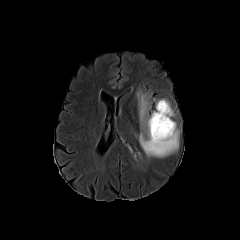
FLAIR MR.
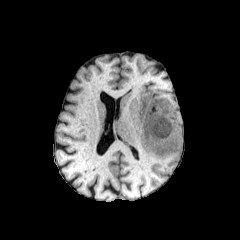
T1-weighted magnetic resonance of the same slice.
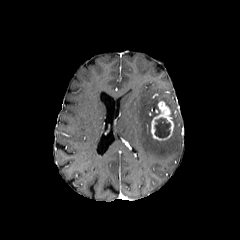
Post-contrast T1-weighted MRI.
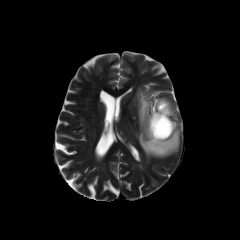
T2-weighted MR image of the same slice.
Axial slice, Brain
2 peritumoral edema regions are located at 156,99,174,116; 137,90,179,157. The enhancing tumor is located at 151,101,174,140. The necrotic tumor core is bounded by 155,118,170,137.